Slice index 56, Brain, Axial plane
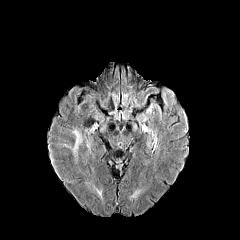
FLAIR MR.
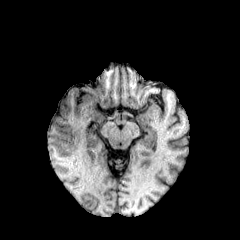
T1-weighted MRI of the same slice.
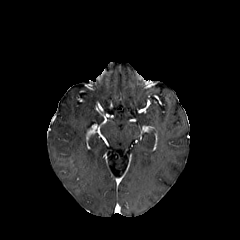
Post-contrast T1-weighted magnetic resonance.
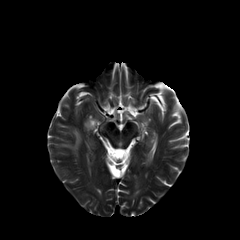
T2-weighted MRI of the same slice.
The peritumoral edema is at left=73, top=130, right=80, bottom=150.